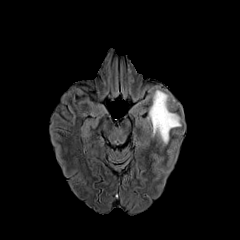
FLAIR magnetic resonance.
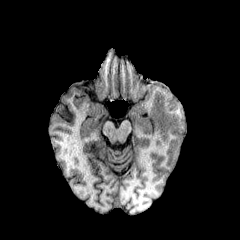
T1-weighted MR image.
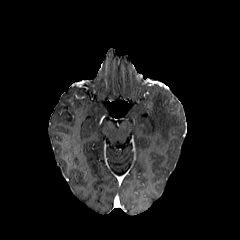
Same slice, post-contrast T1-weighted magnetic resonance.
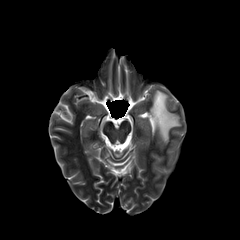
T2-weighted MR image of the same slice.
240x240; Axial view
Findings:
• peritumoral edema: <box>148,90,181,144</box>